Brain
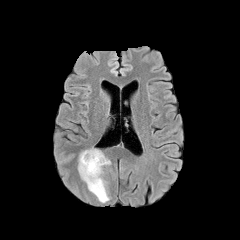
FLAIR MR.
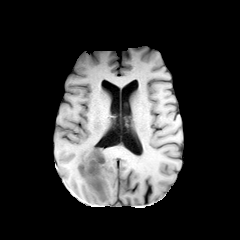
T1-weighted magnetic resonance of the same slice.
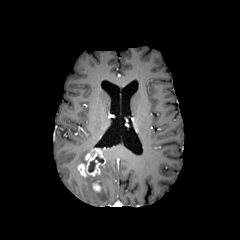
Post-contrast T1-weighted magnetic resonance of the same slice.
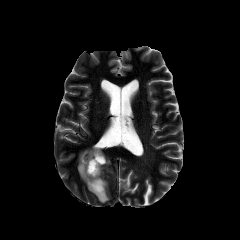
T2-weighted MR.
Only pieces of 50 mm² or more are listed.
The largest necrotic tumor core region appears at [88, 160, 95, 172]. 2 enhancing tumor regions are bounded by [91, 180, 102, 192], [78, 148, 105, 177]. The 2 largest peritumoral edema regions appear at [81, 166, 109, 202], [79, 149, 91, 163].